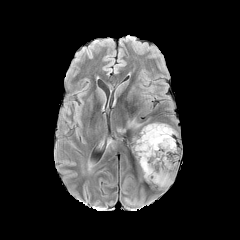
FLAIR MRI.
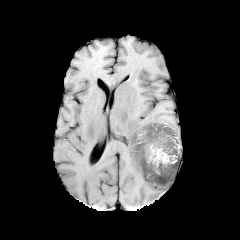
T1-weighted MR image.
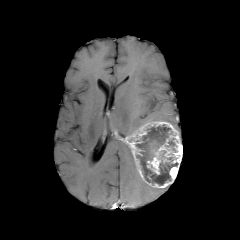
Post-contrast T1-weighted MR image.
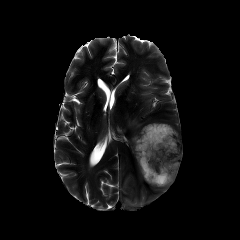
T2-weighted magnetic resonance.
Head. Axial view.
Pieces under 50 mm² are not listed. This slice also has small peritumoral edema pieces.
necrotic tumor core: bbox(136, 125, 177, 185) | enhancing tumor: bbox(126, 121, 182, 188)